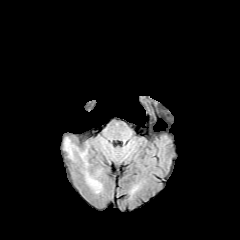
FLAIR MR.
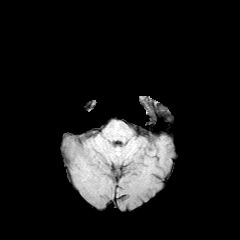
T1-weighted magnetic resonance.
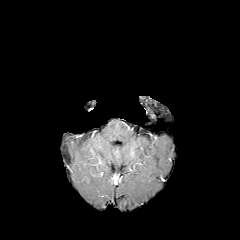
Post-contrast T1-weighted magnetic resonance of the same slice.
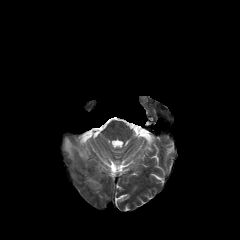
Same slice, T2-weighted MR image.
Axial plane
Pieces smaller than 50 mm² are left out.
The 2 largest peritumoral edema regions appear at (65, 138, 73, 156), (87, 177, 101, 192).